FLAIR MR.
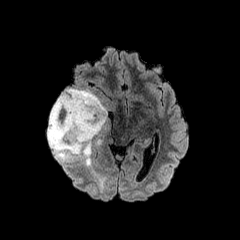
T1-weighted MR.
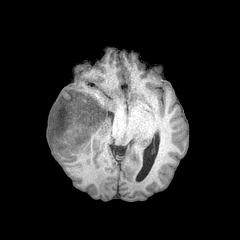
Post-contrast T1-weighted magnetic resonance.
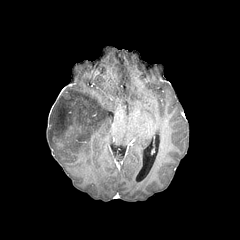
T2-weighted magnetic resonance.
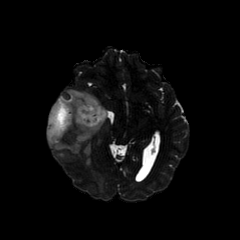
Image size 240x240
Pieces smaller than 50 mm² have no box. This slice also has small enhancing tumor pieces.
Segmented structures:
• peritumoral edema: left=47, top=88, right=107, bottom=166